Head | Slice index 84
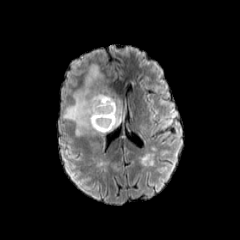
FLAIR MRI.
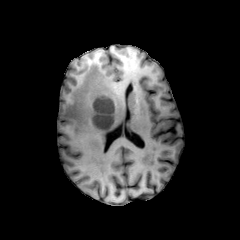
Same slice, T1-weighted MR image.
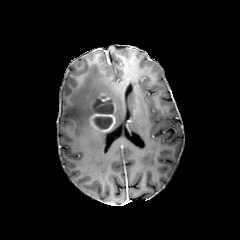
Post-contrast T1-weighted MR image of the same slice.
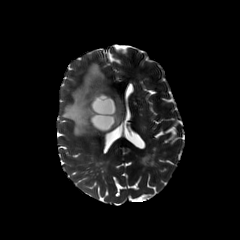
T2-weighted magnetic resonance.
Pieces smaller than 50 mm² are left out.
enhancing tumor: box(89, 94, 115, 132)
peritumoral edema: box(63, 63, 123, 135)
necrotic tumor core: box(94, 116, 112, 128); box(92, 99, 113, 113)